Head. Image covers 240 mm x 240 mm. Axial plane.
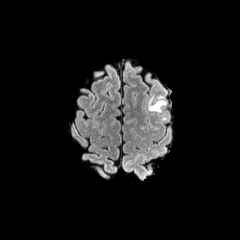
FLAIR magnetic resonance.
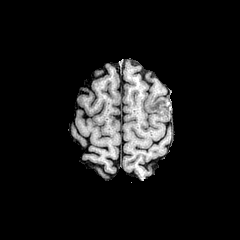
T1-weighted MRI.
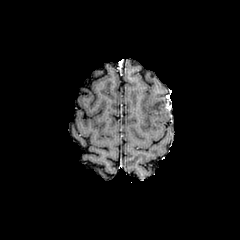
Post-contrast T1-weighted MR image.
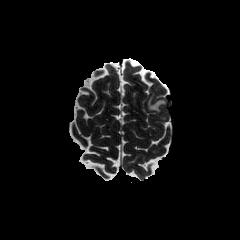
T2-weighted MR of the same slice.
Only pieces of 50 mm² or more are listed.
peritumoral_edema:
  - (148, 96, 166, 112)